Axial plane | Slice 60 of 155
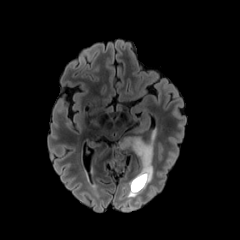
FLAIR MR.
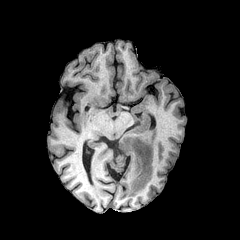
Same slice, T1-weighted MRI.
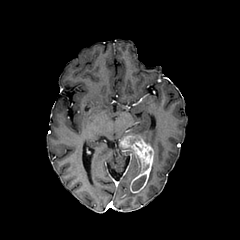
Post-contrast T1-weighted magnetic resonance.
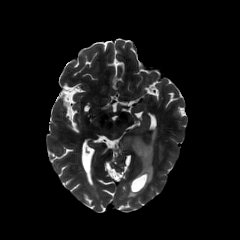
T2-weighted magnetic resonance.
{"necrotic_tumor_core": ["left=132, top=175, right=145, bottom=190"], "peritumoral_edema": ["left=144, top=165, right=153, bottom=188", "left=144, top=132, right=155, bottom=149", "left=127, top=181, right=142, bottom=197"], "enhancing_tumor": ["left=119, top=136, right=153, bottom=193"]}